FLAIR magnetic resonance.
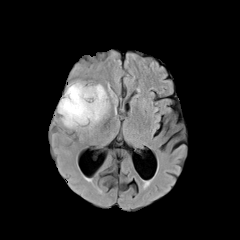
T1-weighted magnetic resonance.
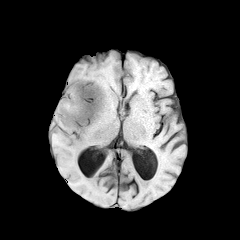
Post-contrast T1-weighted MR image.
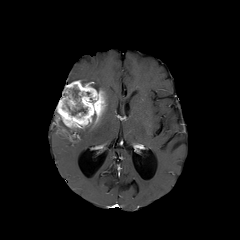
T2-weighted MRI.
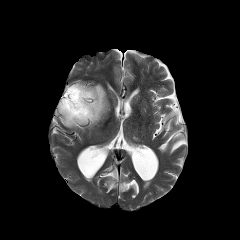
Image size 240x240
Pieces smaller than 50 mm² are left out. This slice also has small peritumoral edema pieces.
Findings:
• necrotic tumor core: {"x1": 72, "y1": 108, "x2": 85, "y2": 115}
• enhancing tumor: {"x1": 56, "y1": 80, "x2": 107, "y2": 129}